FLAIR magnetic resonance.
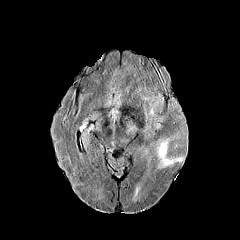
T1-weighted MRI.
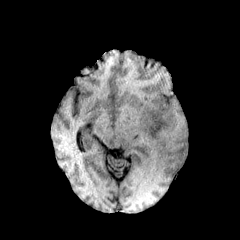
Post-contrast T1-weighted magnetic resonance.
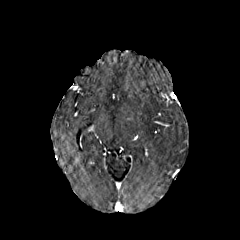
T2-weighted magnetic resonance.
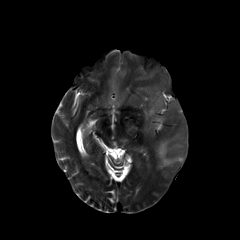
Image size 240x240.
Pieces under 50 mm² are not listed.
The largest peritumoral edema region appears at x1=156, y1=135, x2=181, y2=168.